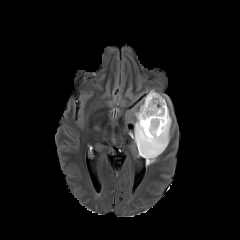
FLAIR MR.
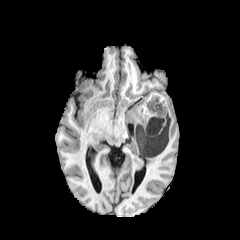
Same slice, T1-weighted magnetic resonance.
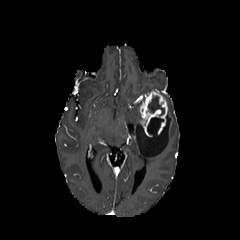
Post-contrast T1-weighted MR image of the same slice.
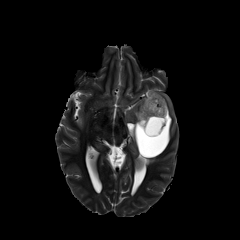
T2-weighted MR.
Head, Image size 240x240
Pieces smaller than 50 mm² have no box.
The largest peritumoral edema region is bounded by 125, 94, 172, 166. The enhancing tumor is at 139, 91, 167, 137. 2 necrotic tumor core regions appear at 148, 95, 164, 115; 147, 117, 163, 136.